Image size 240x240. Axial view. Slice 89/155. Head.
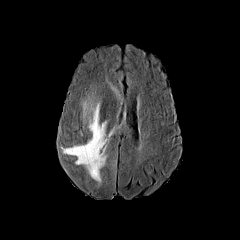
FLAIR magnetic resonance.
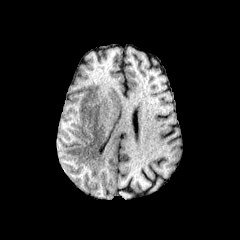
T1-weighted MRI.
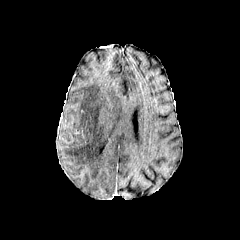
Same slice, post-contrast T1-weighted MRI.
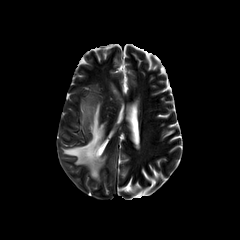
Same slice, T2-weighted MRI.
peritumoral edema: bounding box 61 95 107 182, 111 85 120 98